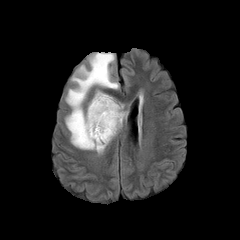
FLAIR MR.
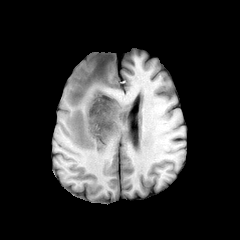
T1-weighted magnetic resonance.
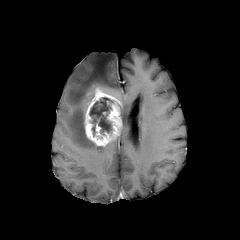
Post-contrast T1-weighted MRI of the same slice.
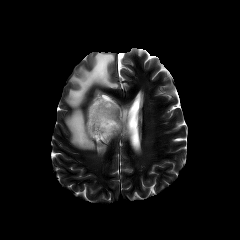
T2-weighted MR of the same slice.
Axial slice. Head.
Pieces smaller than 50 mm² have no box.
peritumoral edema — (x1=65, y1=52, x2=118, y2=150)
enhancing tumor — (x1=84, y1=88, x2=122, y2=145)
necrotic tumor core — (x1=89, y1=99, x2=111, y2=135)